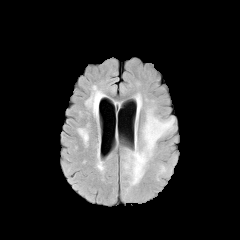
FLAIR magnetic resonance.
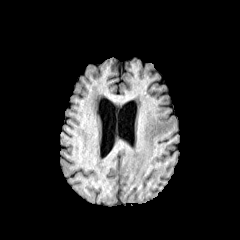
T1-weighted MRI.
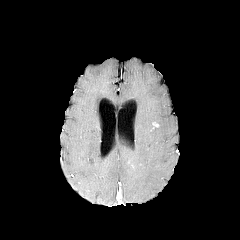
Post-contrast T1-weighted MR image of the same slice.
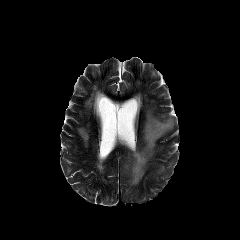
T2-weighted MRI of the same slice.
Image size 240x240.
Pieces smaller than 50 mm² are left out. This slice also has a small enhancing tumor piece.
Segmented structures:
* peritumoral edema: (124,94,174,185)